Slice index 116
FLAIR magnetic resonance.
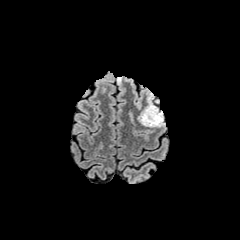
T1-weighted MR.
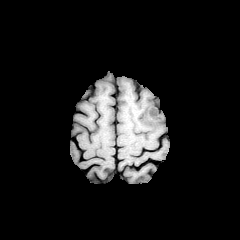
Post-contrast T1-weighted MR image.
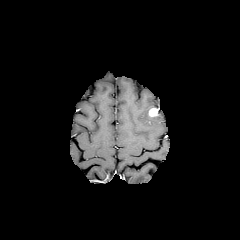
T2-weighted MRI.
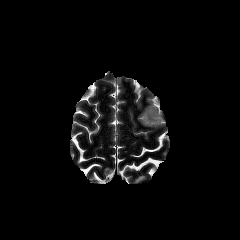
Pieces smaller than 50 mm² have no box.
enhancing tumor: <bbox>149, 108, 158, 116</bbox> | peritumoral edema: <bbox>137, 92, 165, 127</bbox>